FLAIR MR image.
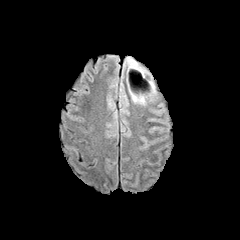
T1-weighted MR image.
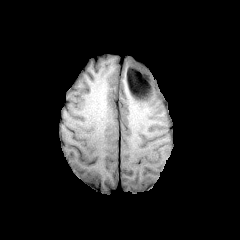
Post-contrast T1-weighted MR image.
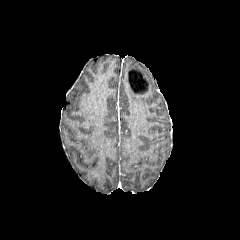
T2-weighted MR image.
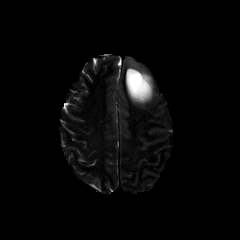
Image size 240x240.
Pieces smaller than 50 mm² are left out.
2 peritumoral edema regions are located at 128:59:146:73, 130:79:155:105. The largest enhancing tumor region is bounded by 127:81:151:98. The necrotic tumor core lies within 127:69:149:94.